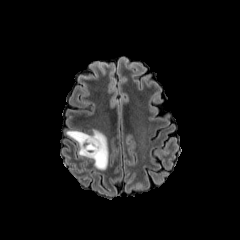
FLAIR MR image.
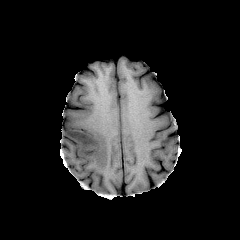
T1-weighted MRI.
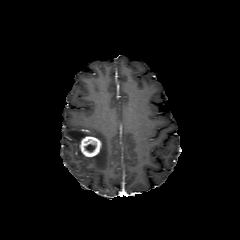
Same slice, post-contrast T1-weighted MR.
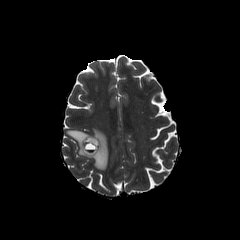
T2-weighted magnetic resonance of the same slice.
240x240
The peritumoral edema lies within left=66, top=129, right=108, bottom=170. The necrotic tumor core is bounded by left=85, top=144, right=94, bottom=151. The enhancing tumor lies within left=80, top=136, right=101, bottom=156.